FLAIR MRI.
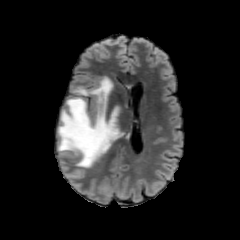
T1-weighted magnetic resonance.
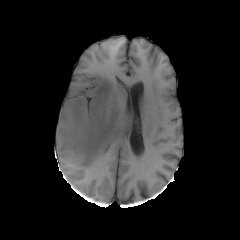
Post-contrast T1-weighted MR image.
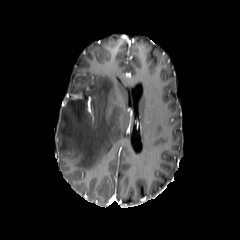
T2-weighted MRI.
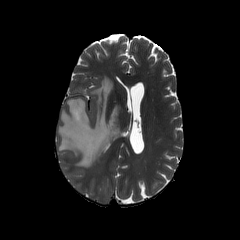
Image size 240x240, Brain
peritumoral edema at bbox=[58, 77, 123, 167]